Slice 111 of 155 | Axial view | Brain
FLAIR magnetic resonance.
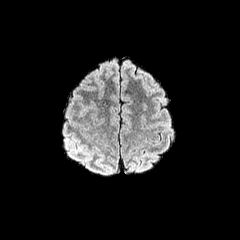
T1-weighted MR image.
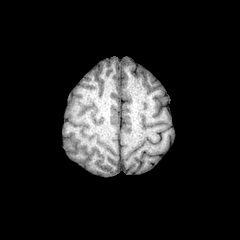
Post-contrast T1-weighted MRI.
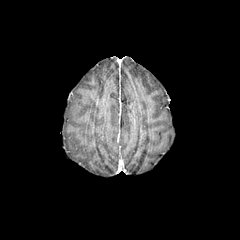
T2-weighted MRI.
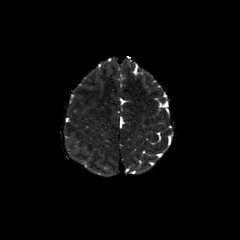
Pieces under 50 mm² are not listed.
* peritumoral edema: left=94, top=67, right=103, bottom=82